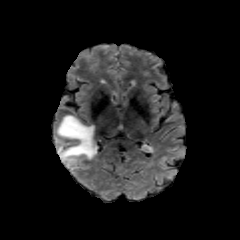
FLAIR MR image.
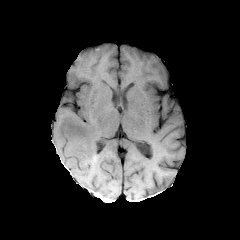
Same slice, T1-weighted magnetic resonance.
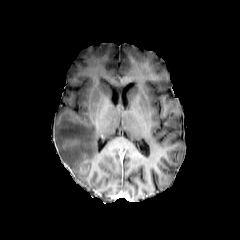
Same slice, post-contrast T1-weighted MR image.
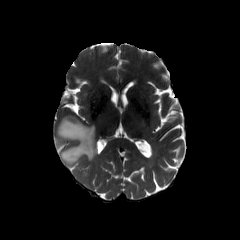
T2-weighted MR image.
Brain, Axial view
peritumoral edema: {"x1": 55, "y1": 116, "x2": 97, "y2": 173}